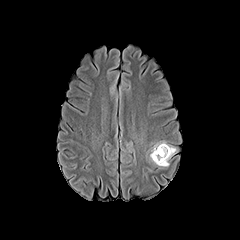
FLAIR MRI.
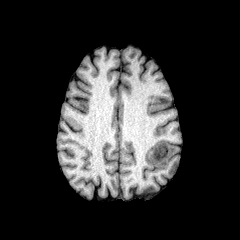
T1-weighted MR.
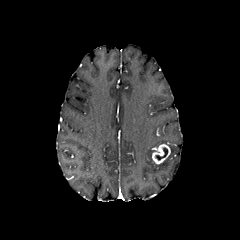
Post-contrast T1-weighted MR of the same slice.
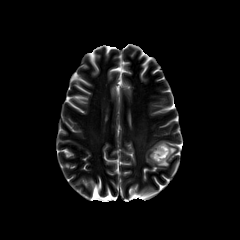
T2-weighted MR.
240x240 | Brain
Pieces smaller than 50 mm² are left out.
Annotated regions:
• enhancing tumor: box(152, 144, 170, 164)
• necrotic tumor core: box(155, 147, 167, 160)
• peritumoral edema: box(159, 146, 177, 166)